FLAIR MR image.
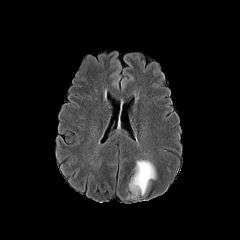
T1-weighted MR.
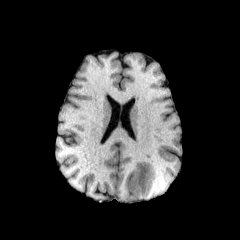
Post-contrast T1-weighted MR.
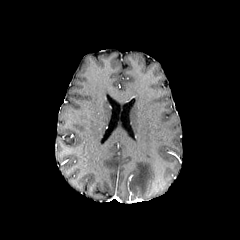
T2-weighted MR.
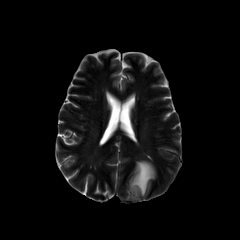
Axial view, Head
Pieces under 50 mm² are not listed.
The largest peritumoral edema region is bounded by [129,160,156,198].